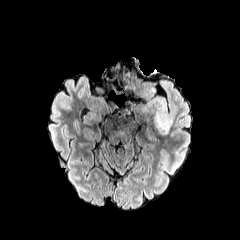
FLAIR MR image.
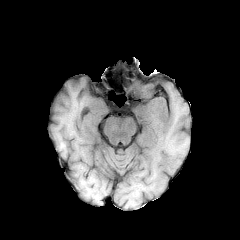
Same slice, T1-weighted MRI.
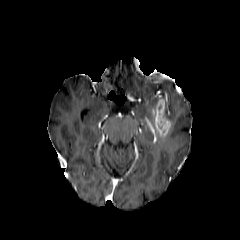
Post-contrast T1-weighted MR of the same slice.
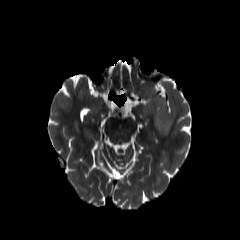
T2-weighted MR.
Image size 240x240; Brain
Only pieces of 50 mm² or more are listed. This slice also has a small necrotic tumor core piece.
The enhancing tumor lies within box(151, 99, 171, 136). The 2 largest peritumoral edema regions are bounded by box(146, 98, 162, 110); box(166, 105, 174, 123).